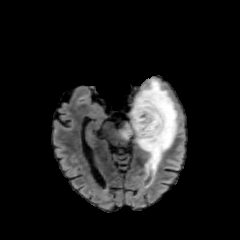
FLAIR MRI.
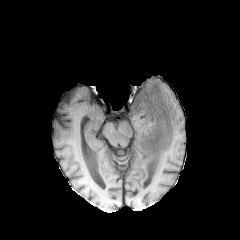
T1-weighted MRI.
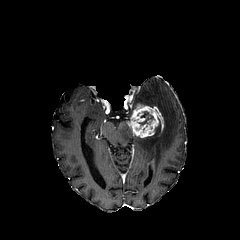
Post-contrast T1-weighted MR.
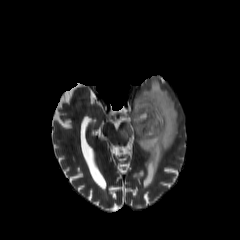
T2-weighted MR image of the same slice.
Image size 240x240.
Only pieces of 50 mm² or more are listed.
enhancing tumor: box=[146, 144, 156, 181]; box=[127, 103, 164, 138] | necrotic tumor core: box=[139, 115, 154, 125] | peritumoral edema: box=[119, 78, 178, 190]